FLAIR MR image.
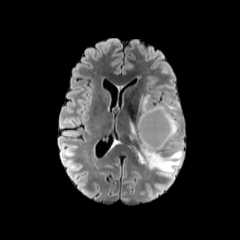
T1-weighted MR.
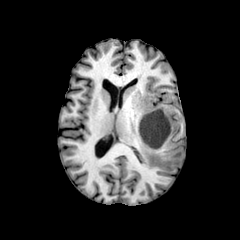
Post-contrast T1-weighted MRI.
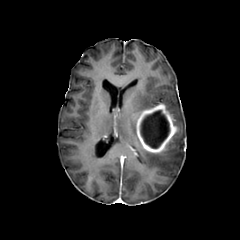
T2-weighted MR image.
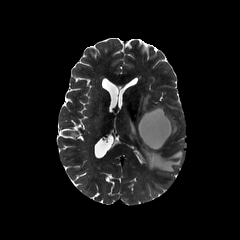
240x240 | Axial slice
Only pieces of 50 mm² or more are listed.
The necrotic tumor core lies within region(140, 110, 169, 148). The 3 largest peritumoral edema regions are located at region(139, 94, 155, 113); region(161, 98, 180, 148); region(129, 121, 182, 174). The enhancing tumor is located at region(136, 103, 177, 153).